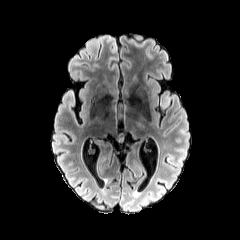
FLAIR magnetic resonance.
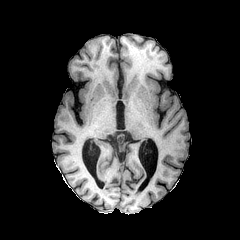
T1-weighted MR image.
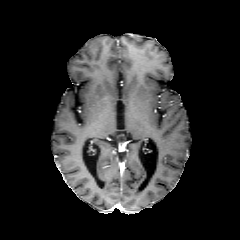
Same slice, post-contrast T1-weighted MRI.
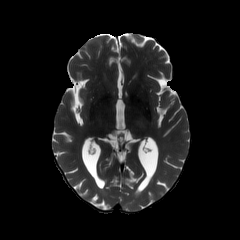
T2-weighted MR image.
Image size 240x240, Brain, Axial slice
Findings:
* peritumoral edema: {"x1": 161, "y1": 96, "x2": 169, "y2": 107}